FLAIR MR image.
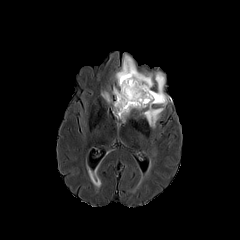
T1-weighted MR image.
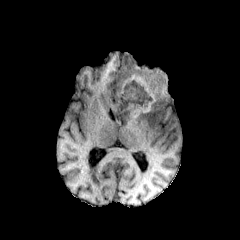
Post-contrast T1-weighted magnetic resonance.
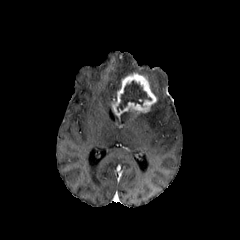
T2-weighted MRI.
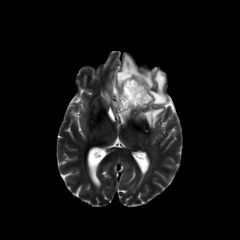
Head
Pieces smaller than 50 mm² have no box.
<segmentation>
  <necrotic_tumor_core>x1=117, y1=81, x2=151, y2=111</necrotic_tumor_core>
  <peritumoral_edema>x1=101, y1=91, x2=112, y2=102; x1=115, y1=54, x2=153, y2=88; x1=121, y1=111, x2=129, y2=121; x1=140, y1=71, x2=168, y2=127</peritumoral_edema>
  <enhancing_tumor>x1=111, y1=72, x2=157, y2=117</enhancing_tumor>
</segmentation>